FLAIR magnetic resonance.
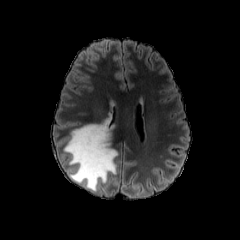
T1-weighted magnetic resonance.
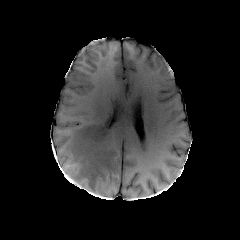
Post-contrast T1-weighted MR.
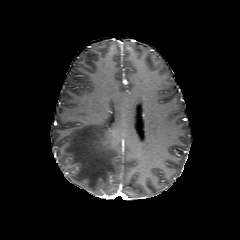
T2-weighted magnetic resonance.
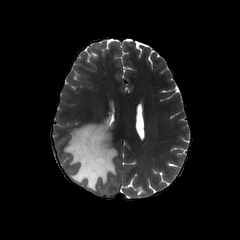
Axial slice; Brain
peritumoral edema = [x1=64, y1=118, x2=118, y2=191]